FLAIR MR image.
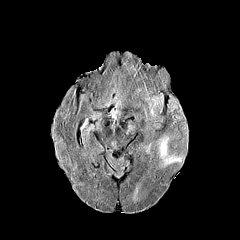
T1-weighted MR image.
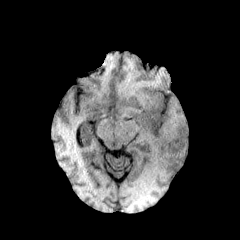
Post-contrast T1-weighted MR image.
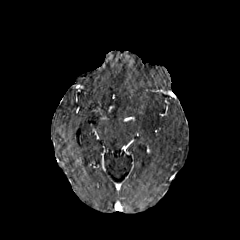
T2-weighted MRI.
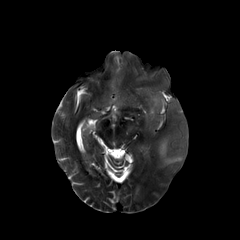
Brain
<segmentation>
  <peritumoral_edema>159,139,183,166</peritumoral_edema>
</segmentation>